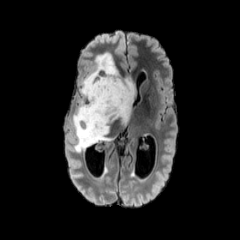
FLAIR magnetic resonance.
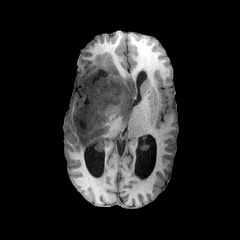
T1-weighted MRI.
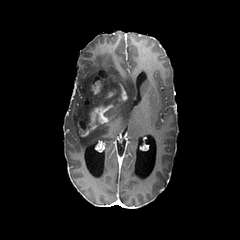
Post-contrast T1-weighted MR image.
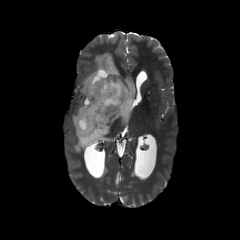
T2-weighted MR image.
240x240.
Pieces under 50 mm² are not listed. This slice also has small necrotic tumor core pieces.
enhancing tumor: [77, 104, 113, 136], [120, 84, 127, 100], [91, 70, 108, 94] | peritumoral edema: [72, 52, 135, 152]